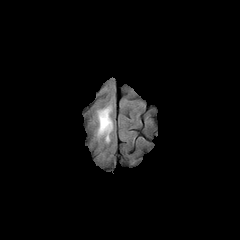
FLAIR MR image.
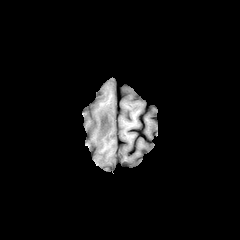
T1-weighted MR.
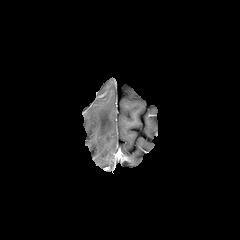
Post-contrast T1-weighted MR image of the same slice.
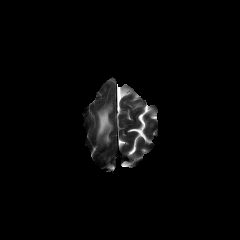
Same slice, T2-weighted MR image.
Head
peritumoral edema — rect(97, 106, 112, 142)